FLAIR MR image.
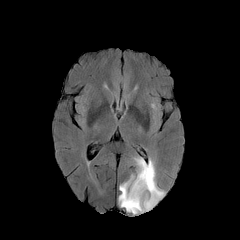
T1-weighted MRI.
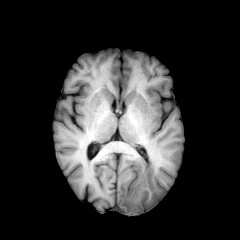
Post-contrast T1-weighted MR.
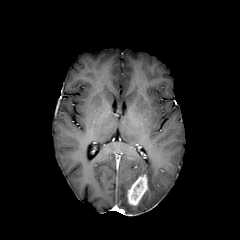
T2-weighted MR.
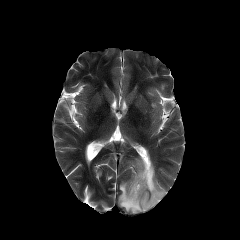
Brain.
{"peritumoral_edema": ["left=118, top=157, right=165, bottom=213"], "enhancing_tumor": ["left=128, top=173, right=148, bottom=205"]}